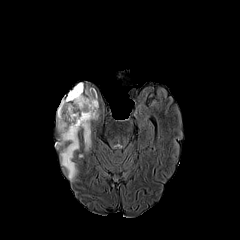
FLAIR MR image.
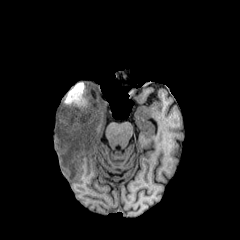
T1-weighted magnetic resonance.
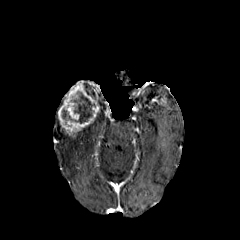
Post-contrast T1-weighted MR image.
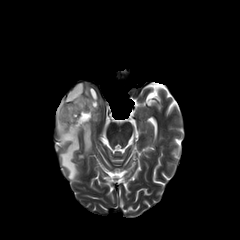
T2-weighted MRI of the same slice.
Axial plane | Brain | 240x240 px
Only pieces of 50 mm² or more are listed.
The largest enhancing tumor region is located at [58, 85, 99, 137]. The 2 largest necrotic tumor core regions are bounded by [84, 87, 95, 98], [64, 82, 94, 123]. The 2 largest peritumoral edema regions appear at [83, 124, 91, 151], [55, 110, 79, 180].